FLAIR MR.
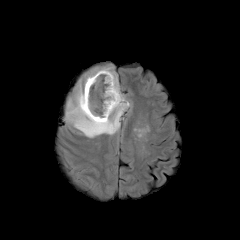
T1-weighted magnetic resonance.
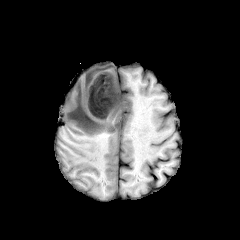
Post-contrast T1-weighted MR image.
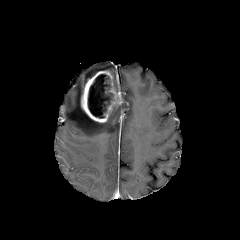
T2-weighted magnetic resonance.
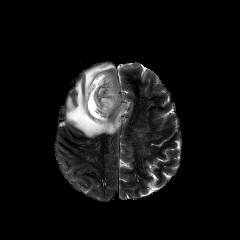
Axial plane
necrotic tumor core at (88,74,108,118)
peritumoral edema at (62,63,130,137)
enhancing tumor at (81,70,123,122)